FLAIR magnetic resonance.
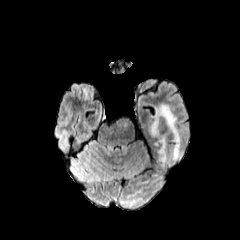
T1-weighted MR image.
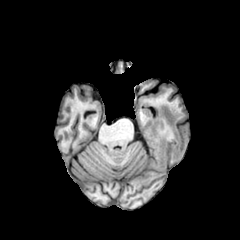
Post-contrast T1-weighted MR.
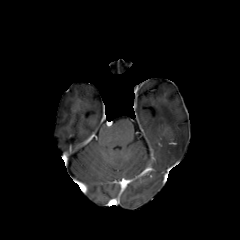
T2-weighted MRI.
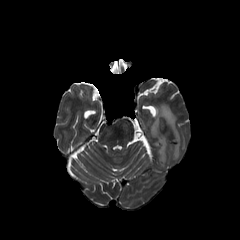
240x240 px; Brain
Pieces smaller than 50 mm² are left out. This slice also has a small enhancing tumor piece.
{
  "peritumoral_edema": [
    "151,104,182,166"
  ]
}